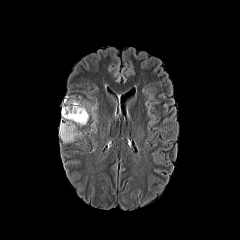
FLAIR magnetic resonance.
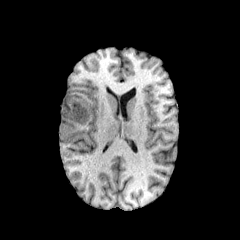
T1-weighted MR of the same slice.
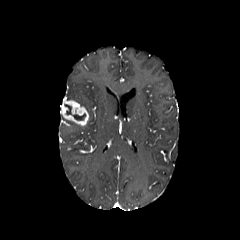
Post-contrast T1-weighted MR image.
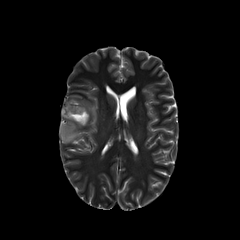
Same slice, T2-weighted MRI.
240x240
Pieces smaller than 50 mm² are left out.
enhancing tumor — [60,97,88,126]
peritumoral edema — [60,117,81,143], [77,100,89,108]
necrotic tumor core — [73,114,85,120]